FLAIR magnetic resonance.
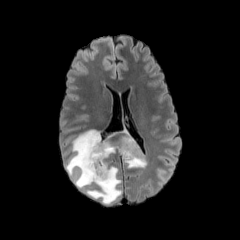
T1-weighted MR image.
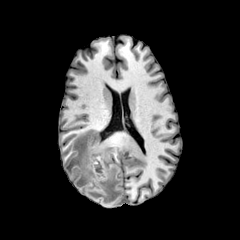
Post-contrast T1-weighted magnetic resonance.
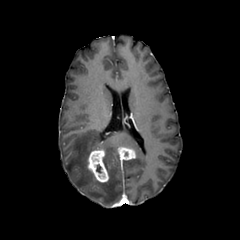
T2-weighted MRI.
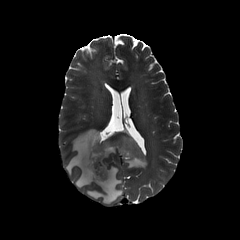
240x240, Axial view
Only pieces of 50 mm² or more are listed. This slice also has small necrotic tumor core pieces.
Findings:
- enhancing tumor: [x1=87, y1=148, x2=108, y2=182], [x1=117, y1=147, x2=135, y2=160]
- peritumoral edema: [x1=65, y1=129, x2=146, y2=204]